FLAIR MRI.
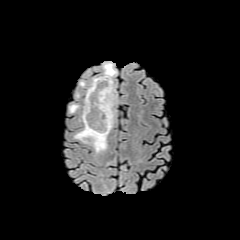
T1-weighted magnetic resonance.
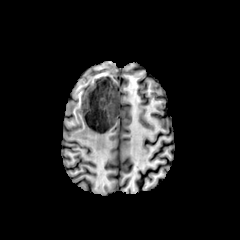
Post-contrast T1-weighted MRI.
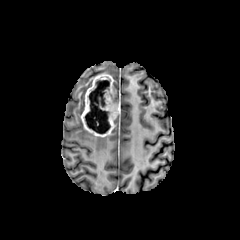
T2-weighted MR image.
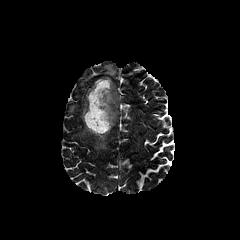
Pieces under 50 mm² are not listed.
enhancing tumor: bbox=[81, 74, 119, 137] | necrotic tumor core: bbox=[85, 80, 110, 133] | peritumoral edema: bbox=[74, 128, 107, 152]; bbox=[102, 63, 117, 78]; bbox=[69, 104, 79, 113]